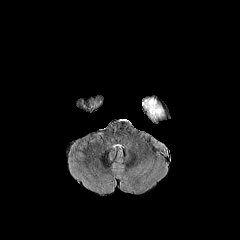
FLAIR magnetic resonance.
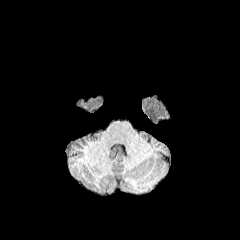
T1-weighted MRI.
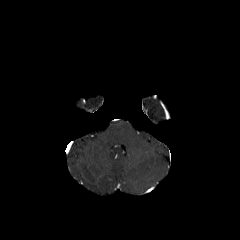
Post-contrast T1-weighted magnetic resonance.
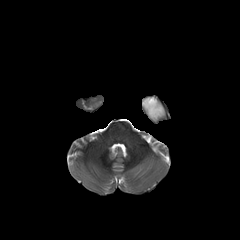
Same slice, T2-weighted MR.
Axial plane. Head.
peritumoral_edema:
  - 143,98,163,119